FLAIR MRI.
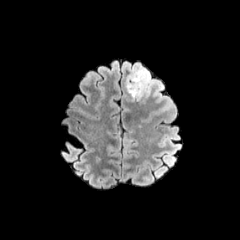
T1-weighted magnetic resonance.
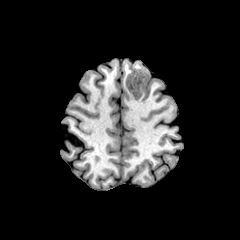
Post-contrast T1-weighted MR image.
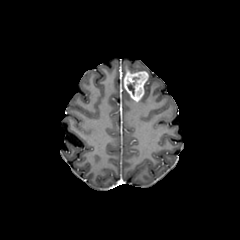
T2-weighted MRI.
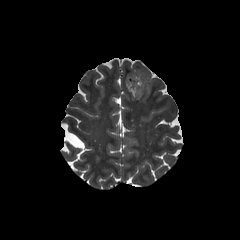
Brain | Axial plane
<segmentation>
  <enhancing_tumor>region(124, 71, 148, 101)</enhancing_tumor>
  <necrotic_tumor_core>region(127, 77, 139, 94)</necrotic_tumor_core>
  <peritumoral_edema>region(131, 66, 154, 96)</peritumoral_edema>
</segmentation>